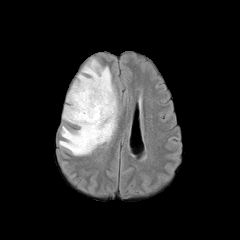
FLAIR MR image.
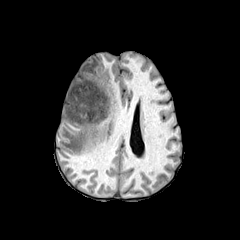
T1-weighted magnetic resonance.
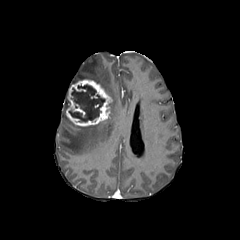
Post-contrast T1-weighted MR of the same slice.
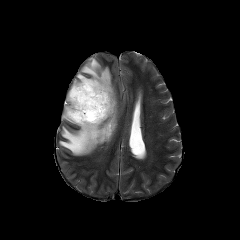
T2-weighted magnetic resonance of the same slice.
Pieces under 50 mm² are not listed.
necrotic tumor core = bbox(69, 85, 105, 121)
enhancing tumor = bbox(66, 79, 112, 126)
peritumoral edema = bbox(62, 105, 72, 123); bbox(59, 58, 118, 155)